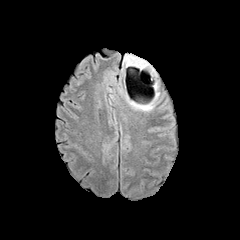
FLAIR magnetic resonance.
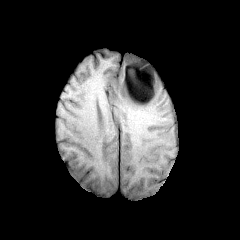
T1-weighted MRI.
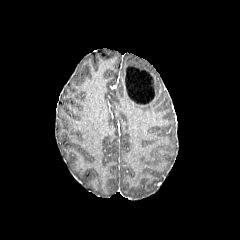
Same slice, post-contrast T1-weighted magnetic resonance.
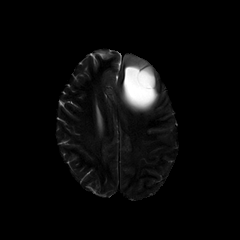
T2-weighted MR image.
Axial plane, 240x240 px, Brain
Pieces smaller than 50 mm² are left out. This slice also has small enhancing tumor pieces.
Segmented structures:
- necrotic tumor core: box=[125, 66, 155, 105]
- peritumoral edema: box=[120, 81, 159, 111]; box=[124, 55, 156, 75]